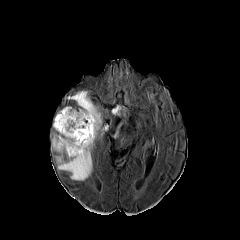
FLAIR MR.
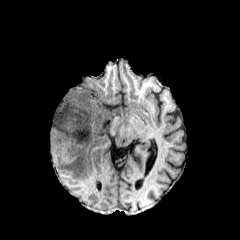
T1-weighted MR image of the same slice.
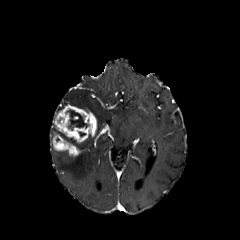
Post-contrast T1-weighted magnetic resonance.
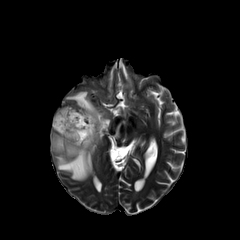
T2-weighted magnetic resonance of the same slice.
240x240 | Axial slice
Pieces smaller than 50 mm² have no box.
The 2 largest enhancing tumor regions appear at {"x1": 53, "y1": 104, "x2": 96, "y2": 143}, {"x1": 51, "y1": 132, "x2": 81, "y2": 156}. The 2 largest necrotic tumor core regions are bounded by {"x1": 58, "y1": 131, "x2": 80, "y2": 148}, {"x1": 66, "y1": 109, "x2": 88, "y2": 129}. The 2 largest peritumoral edema regions are located at {"x1": 66, "y1": 91, "x2": 102, "y2": 130}, {"x1": 56, "y1": 137, "x2": 94, "y2": 180}.